FLAIR MR image.
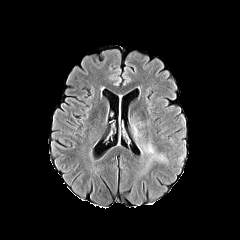
T1-weighted MR.
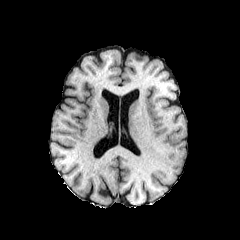
Post-contrast T1-weighted magnetic resonance.
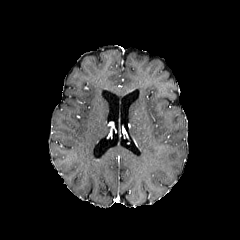
T2-weighted magnetic resonance.
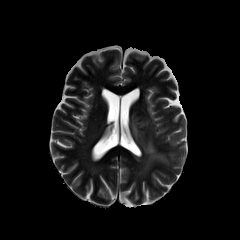
* peritumoral edema: 130 112 145 141, 143 143 168 170